FLAIR MR.
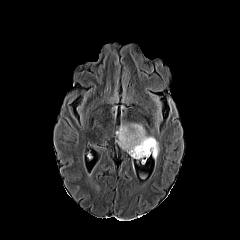
T1-weighted MR.
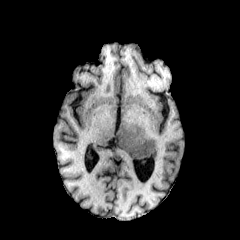
Post-contrast T1-weighted MR.
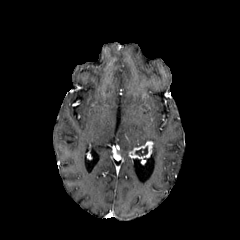
T2-weighted MR image.
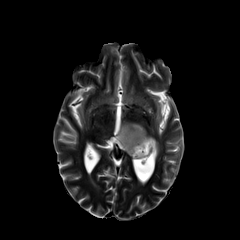
Axial view
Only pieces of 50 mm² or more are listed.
necrotic tumor core at (135, 146, 147, 156)
enhancing tumor at (128, 141, 153, 159)
peritumoral edema at (116, 123, 159, 158)